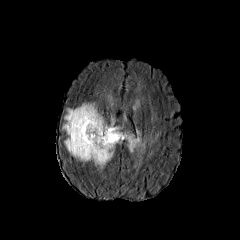
FLAIR MR image.
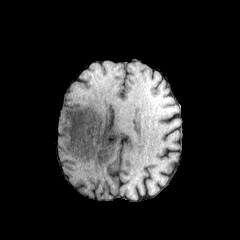
T1-weighted MR of the same slice.
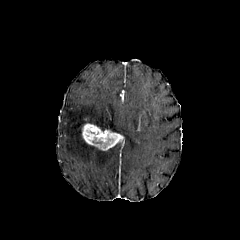
Post-contrast T1-weighted MR of the same slice.
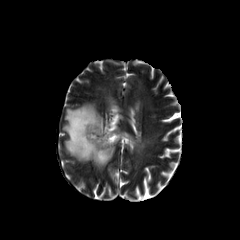
Same slice, T2-weighted magnetic resonance.
Brain | Image size 240x240
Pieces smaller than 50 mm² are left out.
peritumoral edema: <box>62,103,146,171</box>, <box>133,99,140,109</box> | enhancing tumor: <box>82,123,124,150</box>